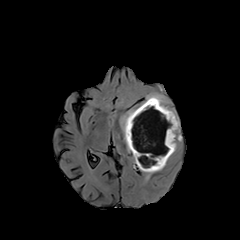
FLAIR MRI.
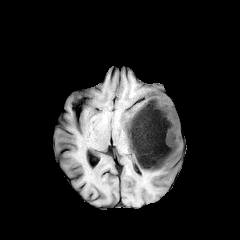
T1-weighted MR image of the same slice.
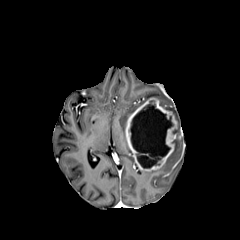
Same slice, post-contrast T1-weighted magnetic resonance.
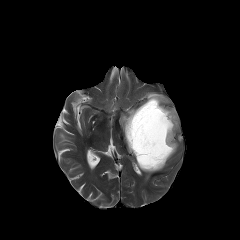
T2-weighted magnetic resonance of the same slice.
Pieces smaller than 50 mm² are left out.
enhancing tumor = box(125, 97, 181, 171)
necrotic tumor core = box(130, 100, 173, 168)
peritumoral edema = box(120, 108, 135, 152); box(143, 162, 166, 178); box(146, 93, 180, 135)